Slice 95 of 155
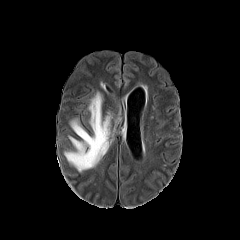
FLAIR MR.
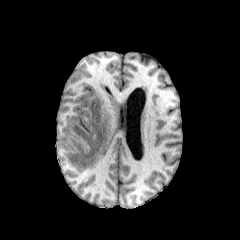
Same slice, T1-weighted MR image.
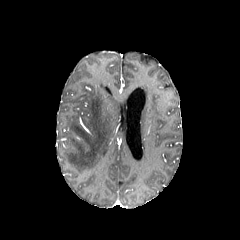
Same slice, post-contrast T1-weighted MRI.
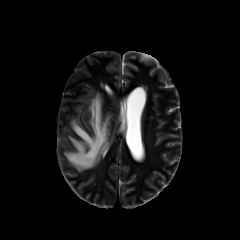
T2-weighted MR image.
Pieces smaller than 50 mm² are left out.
The largest peritumoral edema region appears at 64 92 115 172.